Slice index 83; Brain; Image width 240 mm, 1.00 mm slice spacing
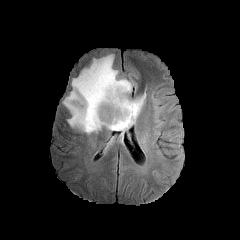
FLAIR MR image.
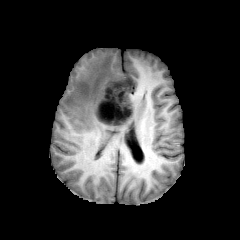
T1-weighted MRI.
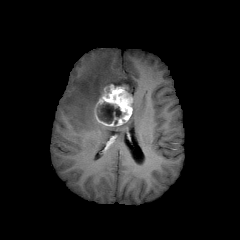
Same slice, post-contrast T1-weighted MR.
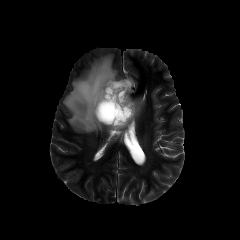
T2-weighted MR.
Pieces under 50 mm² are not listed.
Segmented structures:
* peritumoral edema: x1=63, y1=54, x2=145, y2=137
* necrotic tumor core: x1=97, y1=103, x2=121, y2=123
* enhancing tumor: x1=94, y1=84, x2=132, y2=126